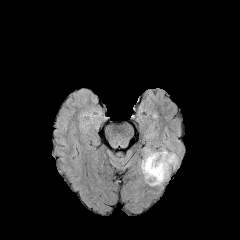
FLAIR magnetic resonance.
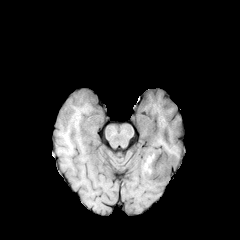
Same slice, T1-weighted magnetic resonance.
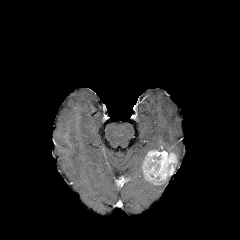
Post-contrast T1-weighted magnetic resonance of the same slice.
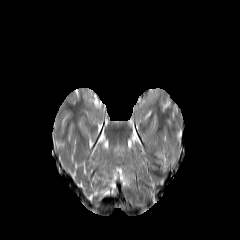
T2-weighted magnetic resonance.
Head
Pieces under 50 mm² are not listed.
Segmented structures:
* peritumoral edema: 141,149,150,171
* enhancing tumor: 142,150,177,185